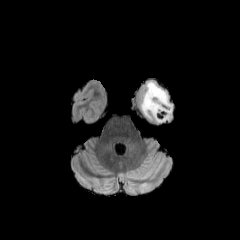
FLAIR MR.
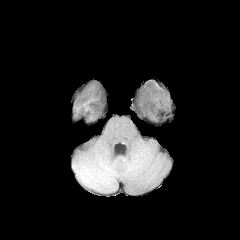
Same slice, T1-weighted magnetic resonance.
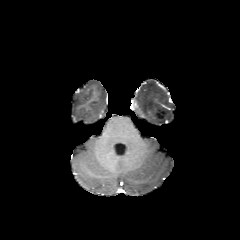
Post-contrast T1-weighted MRI of the same slice.
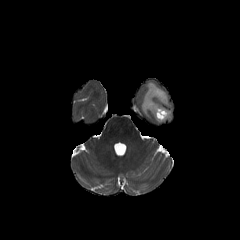
Same slice, T2-weighted magnetic resonance.
Image size 240x240.
The peritumoral edema lies within {"x1": 141, "y1": 81, "x2": 172, "y2": 123}.